Brain; Axial plane; 240x240; Image covers 240 mm x 240 mm; Slice 63/155
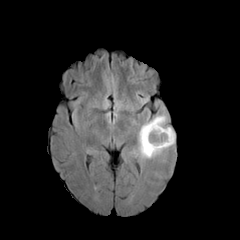
FLAIR MR image.
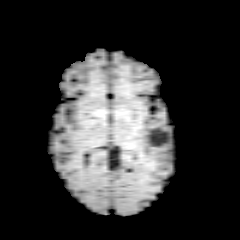
T1-weighted magnetic resonance of the same slice.
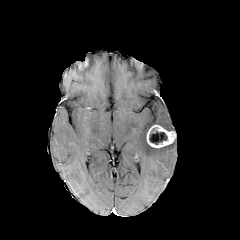
Post-contrast T1-weighted magnetic resonance of the same slice.
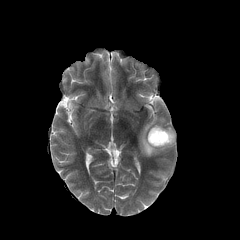
T2-weighted MR image.
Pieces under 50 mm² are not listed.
necrotic tumor core: x1=149 y1=131 x2=167 y2=144
peritumoral edema: x1=138 y1=115 x2=174 y2=158
enhancing tumor: x1=146 y1=125 x2=175 y2=147